Head, 240x240 px
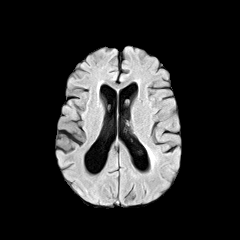
FLAIR magnetic resonance.
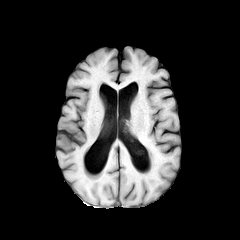
T1-weighted MR of the same slice.
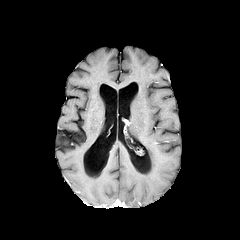
Post-contrast T1-weighted magnetic resonance.
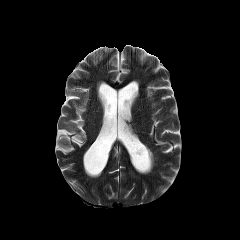
Same slice, T2-weighted MRI.
<segmentation>
  <peritumoral_edema>box=[144, 144, 157, 164]</peritumoral_edema>
</segmentation>